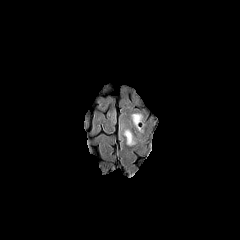
FLAIR MR image.
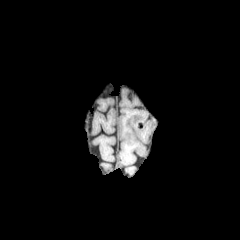
Same slice, T1-weighted MRI.
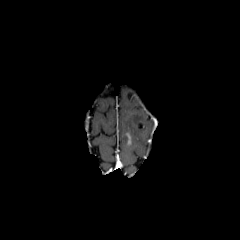
Same slice, post-contrast T1-weighted MR.
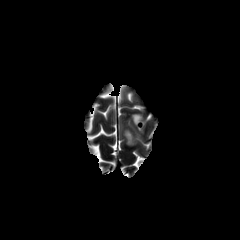
T2-weighted MR image of the same slice.
Axial slice
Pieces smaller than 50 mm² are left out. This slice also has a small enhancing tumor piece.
The largest peritumoral edema region appears at [x1=123, y1=129, x2=135, y2=145].